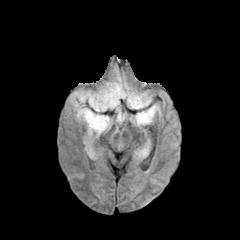
FLAIR MR.
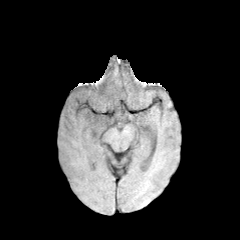
T1-weighted MR of the same slice.
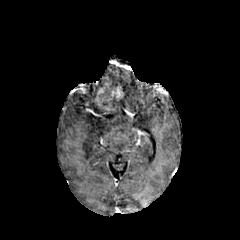
Same slice, post-contrast T1-weighted magnetic resonance.
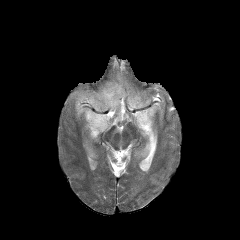
T2-weighted MR.
Axial slice
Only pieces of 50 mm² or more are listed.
<segmentation>
  <enhancing_tumor>(left=95, top=82, right=124, bottom=110)</enhancing_tumor>
  <necrotic_tumor_core>(left=102, top=96, right=117, bottom=108), (left=102, top=84, right=115, bottom=98)</necrotic_tumor_core>
  <peritumoral_edema>(left=139, top=144, right=148, bottom=156), (left=108, top=73, right=151, bottom=108), (left=130, top=105, right=159, bottom=126), (left=70, top=90, right=126, bottom=157)</peritumoral_edema>
</segmentation>